Slice 91 of 155.
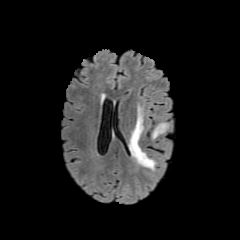
FLAIR MRI.
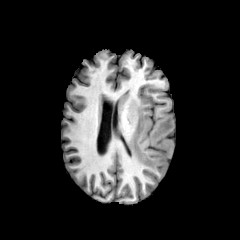
T1-weighted MR image of the same slice.
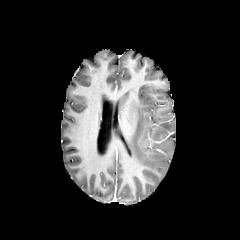
Post-contrast T1-weighted MR image.
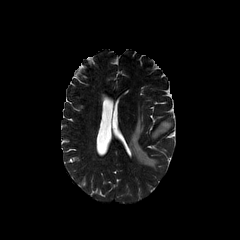
T2-weighted MRI.
2 peritumoral edema regions appear at 152:122:170:139, 129:105:157:169.